Head
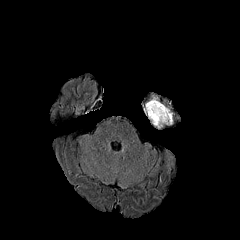
FLAIR magnetic resonance.
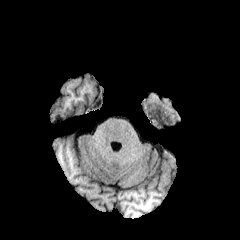
T1-weighted magnetic resonance.
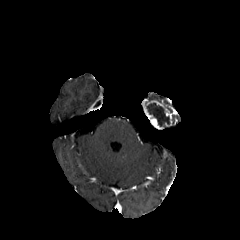
Post-contrast T1-weighted magnetic resonance.
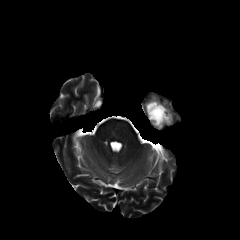
T2-weighted magnetic resonance.
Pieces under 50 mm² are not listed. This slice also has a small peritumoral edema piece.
The necrotic tumor core is located at (left=147, top=103, right=169, bottom=126). The enhancing tumor appears at (left=143, top=100, right=173, bottom=129).